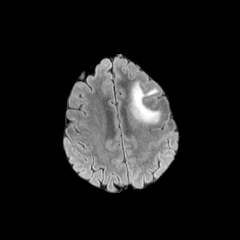
FLAIR MR image.
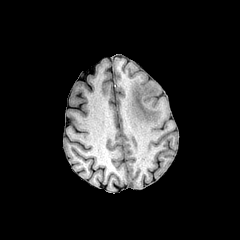
Same slice, T1-weighted MR image.
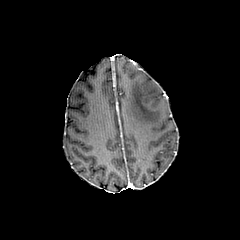
Same slice, post-contrast T1-weighted MRI.
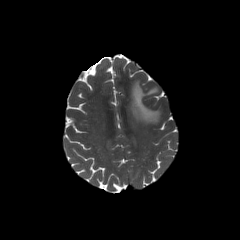
Same slice, T2-weighted MRI.
peritumoral edema = x1=131, y1=82, x2=160, y2=123